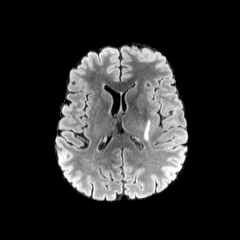
FLAIR magnetic resonance.
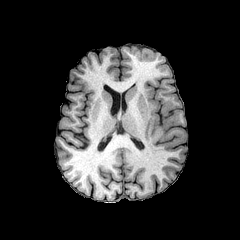
T1-weighted MR.
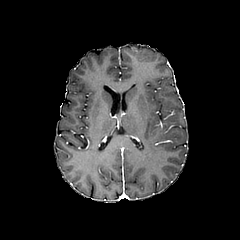
Post-contrast T1-weighted MR.
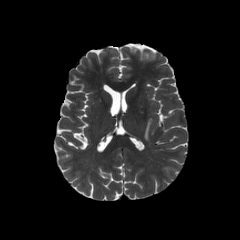
Same slice, T2-weighted MRI.
Axial plane, 240x240
The peritumoral edema is bounded by {"x1": 144, "y1": 120, "x2": 150, "y2": 140}.